Slice 106 of 155; Axial view
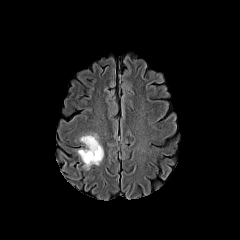
FLAIR MR.
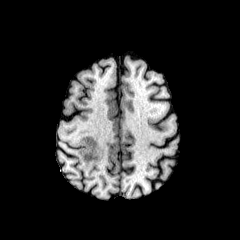
T1-weighted MR image.
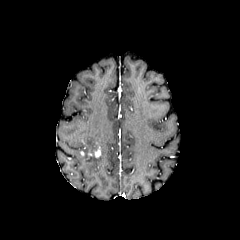
Post-contrast T1-weighted magnetic resonance.
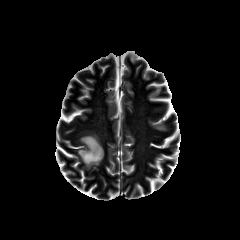
Same slice, T2-weighted magnetic resonance.
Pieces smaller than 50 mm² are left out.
{
  "enhancing_tumor": [
    "89 146 100 158"
  ],
  "peritumoral_edema": [
    "77 134 103 169"
  ]
}